FLAIR MR.
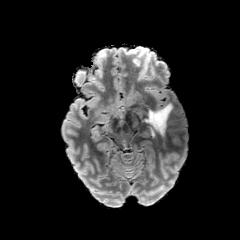
T1-weighted MR image.
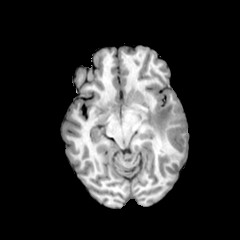
Post-contrast T1-weighted MR.
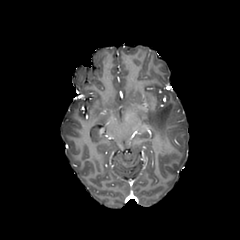
T2-weighted MR image.
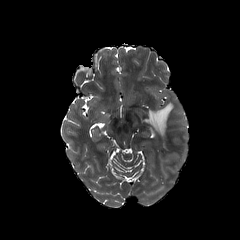
Axial plane | 240x240 | Brain
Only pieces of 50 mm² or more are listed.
peritumoral edema = 143 103 172 135